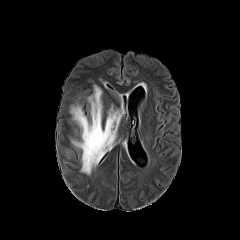
FLAIR MR.
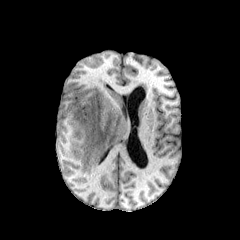
T1-weighted MR image.
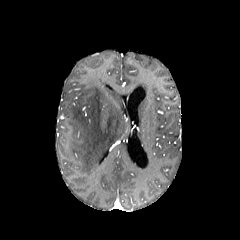
Same slice, post-contrast T1-weighted magnetic resonance.
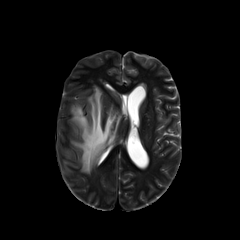
T2-weighted MR.
Brain.
Annotated regions:
- peritumoral edema: (x1=70, y1=85, x2=122, y2=174)